FLAIR MR image.
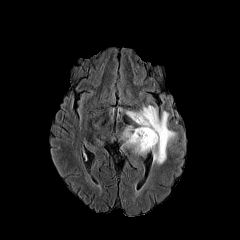
T1-weighted magnetic resonance.
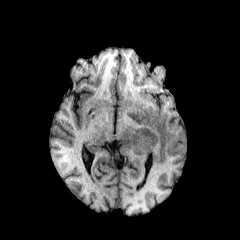
Post-contrast T1-weighted MR.
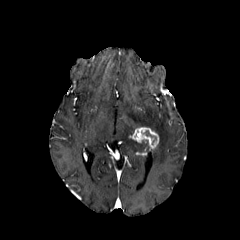
T2-weighted magnetic resonance.
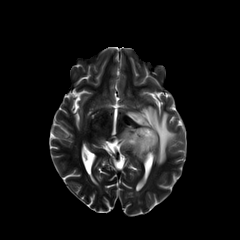
Axial plane
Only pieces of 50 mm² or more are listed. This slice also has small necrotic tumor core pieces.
enhancing_tumor:
  - (129,127,159,150)
peritumoral_edema:
  - (128,105,176,164)
  - (120,126,148,153)